FLAIR MR.
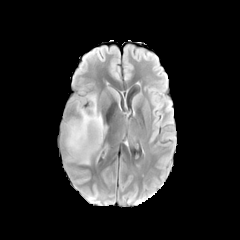
T1-weighted MR image.
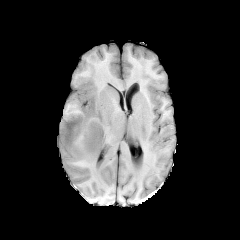
Post-contrast T1-weighted MRI.
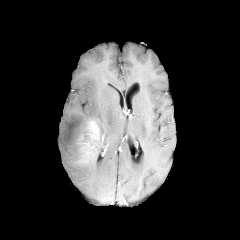
T2-weighted MR image.
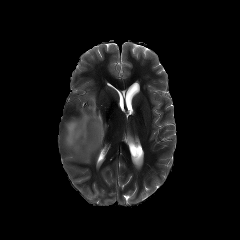
Head
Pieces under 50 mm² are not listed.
<segmentation>
  <enhancing_tumor>79:120:104:160</enhancing_tumor>
  <peritumoral_edema>64:94:106:164</peritumoral_edema>
</segmentation>